Axial view | Image size 240x240 | Brain | Slice 86 of 155
FLAIR MR.
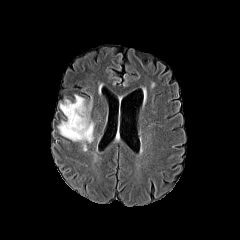
T1-weighted MRI.
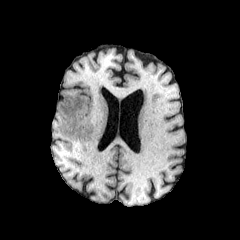
Post-contrast T1-weighted MR.
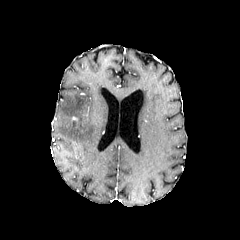
T2-weighted MR image.
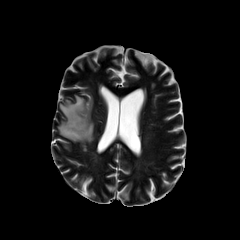
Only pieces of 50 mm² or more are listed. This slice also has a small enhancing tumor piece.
The peritumoral edema is located at (left=58, top=95, right=93, bottom=150).